FLAIR MRI.
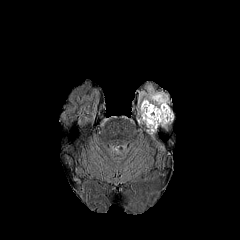
T1-weighted MR.
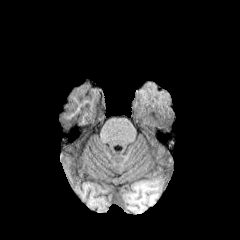
Post-contrast T1-weighted magnetic resonance.
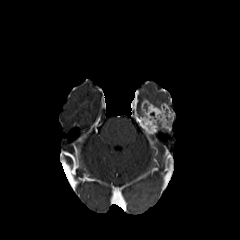
T2-weighted MR image.
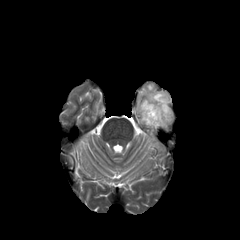
Brain.
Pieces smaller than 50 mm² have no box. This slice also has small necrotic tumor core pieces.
enhancing_tumor:
  - x1=138, y1=99, x2=174, y2=134
peritumoral_edema:
  - x1=139, y1=85, x2=168, y2=106